FLAIR MRI.
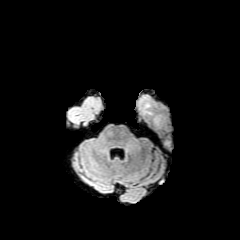
T1-weighted MRI.
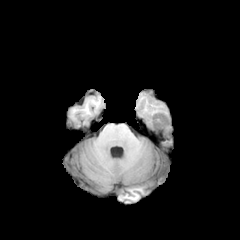
Post-contrast T1-weighted MRI.
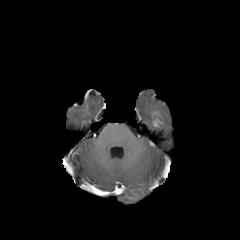
T2-weighted MRI.
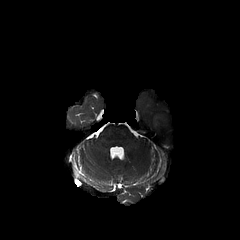
Axial slice
Segmented structures:
- enhancing tumor: left=153, top=118, right=161, bottom=126